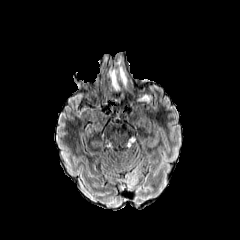
FLAIR MR image.
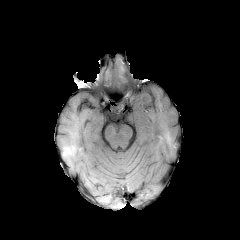
T1-weighted MR image.
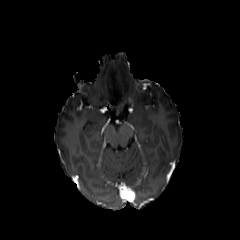
Same slice, post-contrast T1-weighted MR.
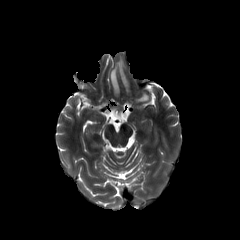
T2-weighted MR.
Brain
- peritumoral edema: <bbox>110, 70, 118, 90</bbox>, <bbox>120, 66, 126, 83</bbox>, <bbox>139, 94, 149, 100</bbox>